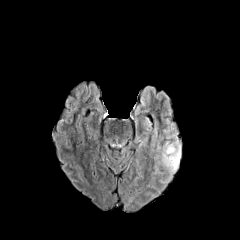
FLAIR MRI.
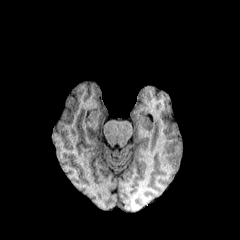
T1-weighted MR image.
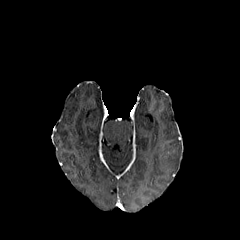
Same slice, post-contrast T1-weighted magnetic resonance.
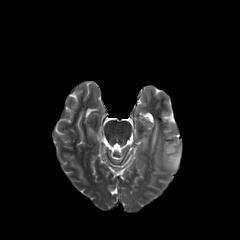
Same slice, T2-weighted MR image.
240x240 px
The peritumoral edema is bounded by region(158, 139, 180, 172).